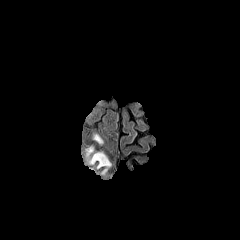
FLAIR MR image.
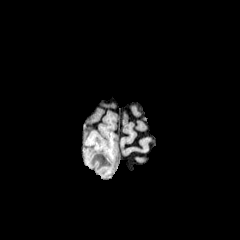
T1-weighted MR image of the same slice.
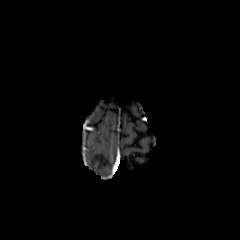
Post-contrast T1-weighted MRI.
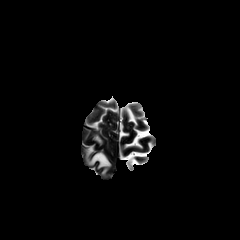
Same slice, T2-weighted magnetic resonance.
Head; Axial view; Image size 240x240
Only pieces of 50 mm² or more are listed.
The 2 largest peritumoral edema regions appear at [89,152,110,168], [93,135,102,143].